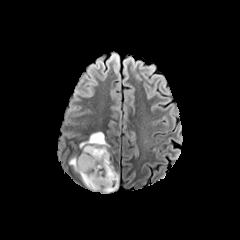
FLAIR MR image.
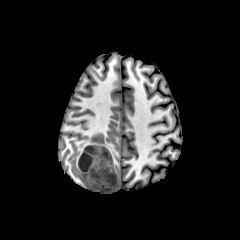
Same slice, T1-weighted MR.
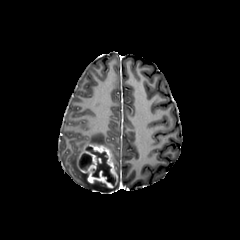
Same slice, post-contrast T1-weighted MRI.
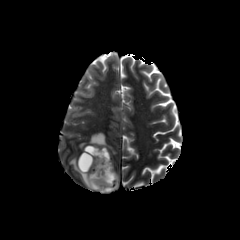
Same slice, T2-weighted MR image.
Image size 240x240 | Brain
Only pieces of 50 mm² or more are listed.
Segmented structures:
- peritumoral edema: region(69, 157, 118, 191); region(79, 132, 110, 150)
- enhancing tumor: region(86, 144, 117, 184); region(77, 148, 114, 188)
- necrotic tumor core: region(85, 146, 115, 185); region(79, 153, 93, 170)